Image covers 240 mm x 240 mm; Axial view; Slice 83 of 155
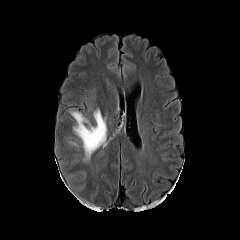
FLAIR MR.
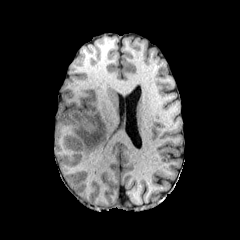
Same slice, T1-weighted MR.
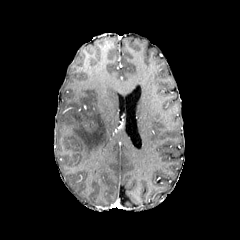
Post-contrast T1-weighted MRI.
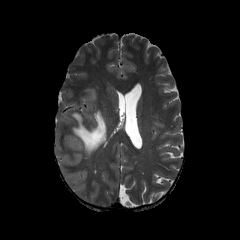
T2-weighted MR.
Annotated regions:
- peritumoral edema: (68,107,108,160)